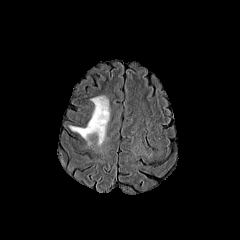
FLAIR MR.
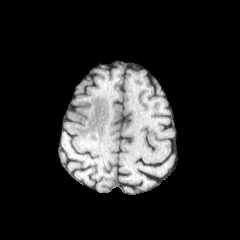
Same slice, T1-weighted MR.
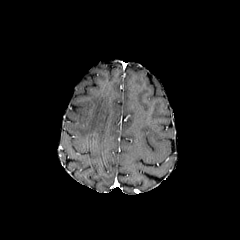
Same slice, post-contrast T1-weighted MR.
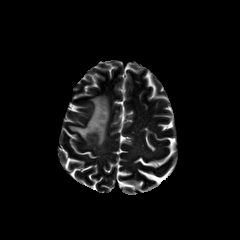
T2-weighted MR.
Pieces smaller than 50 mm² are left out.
The largest peritumoral edema region appears at (x1=69, y1=96, x2=109, y2=145).